Axial view
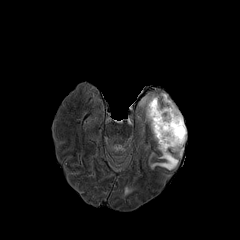
FLAIR magnetic resonance.
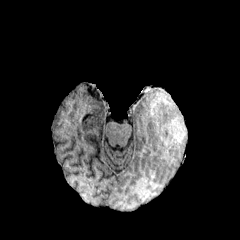
T1-weighted MR.
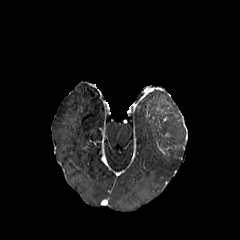
Same slice, post-contrast T1-weighted MR image.
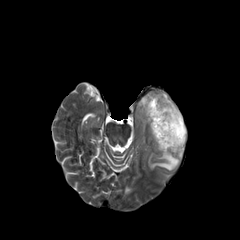
T2-weighted MR image.
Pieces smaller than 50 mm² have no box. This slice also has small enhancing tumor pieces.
The largest necrotic tumor core region is at region(148, 100, 185, 150). The 3 largest peritumoral edema regions are bounded by region(173, 146, 183, 156); region(162, 93, 178, 112); region(150, 153, 178, 170).